FLAIR magnetic resonance.
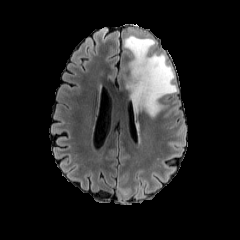
T1-weighted MR image.
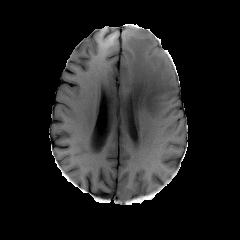
Post-contrast T1-weighted MR image.
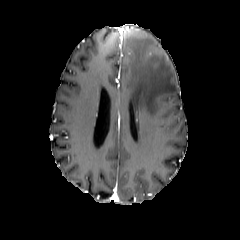
T2-weighted MRI.
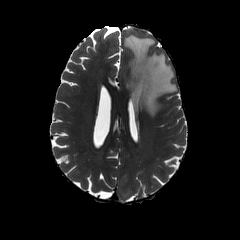
peritumoral edema: (123,28,177,118)